Head
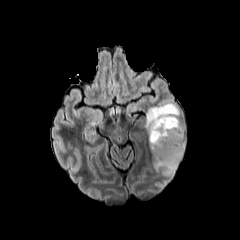
FLAIR MRI.
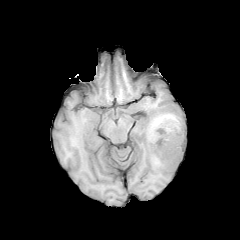
T1-weighted magnetic resonance.
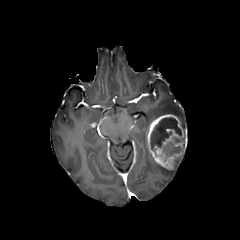
Same slice, post-contrast T1-weighted magnetic resonance.
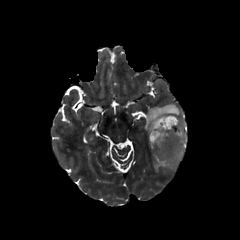
Same slice, T2-weighted magnetic resonance.
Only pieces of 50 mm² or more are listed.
{"enhancing_tumor": ["x1=147, y1=114, x2=186, y2=169"], "necrotic_tumor_core": ["x1=150, y1=117, x2=181, y2=150"], "peritumoral_edema": ["x1=146, y1=103, x2=180, y2=130", "x1=154, y1=156, x2=182, y2=177"]}